Axial plane. Image width 240 mm. 240x240.
FLAIR MR image.
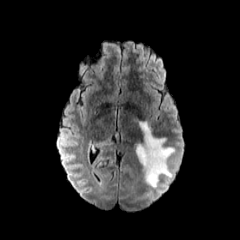
T1-weighted MR image.
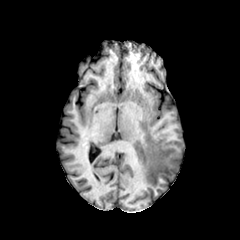
Post-contrast T1-weighted MR image.
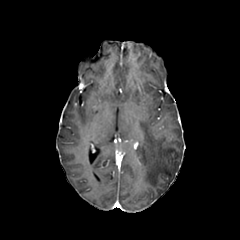
T2-weighted MRI.
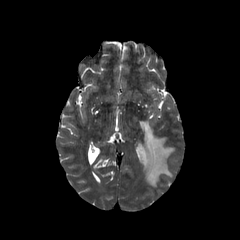
peritumoral edema: [136,122,174,187]